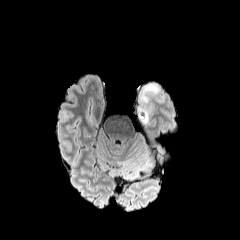
FLAIR MRI.
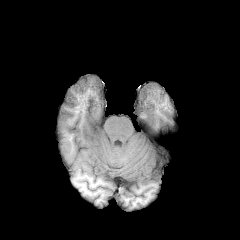
T1-weighted magnetic resonance.
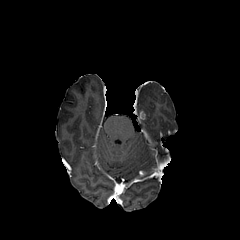
Post-contrast T1-weighted MR.
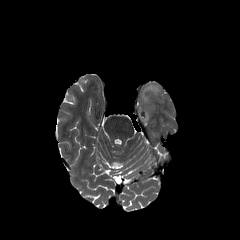
T2-weighted MRI.
Image size 240x240. Brain.
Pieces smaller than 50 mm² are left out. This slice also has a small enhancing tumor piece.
<segmentation>
  <peritumoral_edema>rect(145, 85, 158, 92)</peritumoral_edema>
</segmentation>